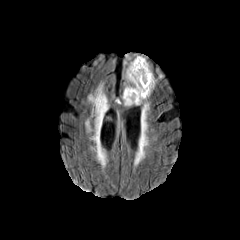
FLAIR MR.
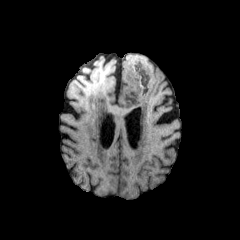
T1-weighted MRI.
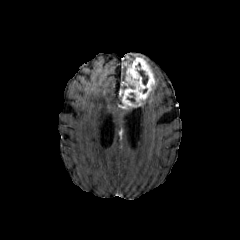
Post-contrast T1-weighted MRI.
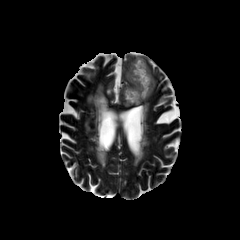
T2-weighted MRI.
Axial plane.
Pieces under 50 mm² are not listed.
The enhancing tumor is located at 119 57 155 108. The largest peritumoral edema region appears at 123 54 141 76. The largest necrotic tumor core region is at 137 70 148 84.